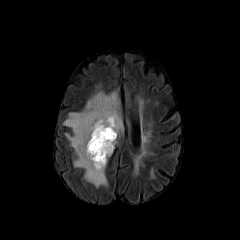
FLAIR magnetic resonance.
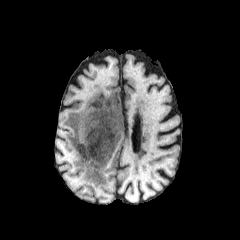
T1-weighted MR.
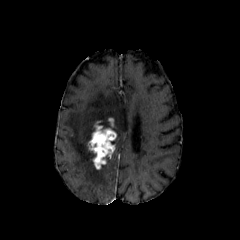
Post-contrast T1-weighted MR image.
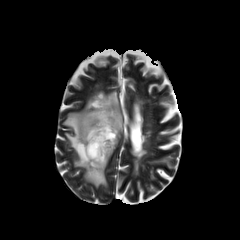
Same slice, T2-weighted MRI.
240x240 px
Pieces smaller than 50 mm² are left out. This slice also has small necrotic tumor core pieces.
The enhancing tumor is at bbox=[87, 117, 116, 169]. The largest peritumoral edema region appears at bbox=[63, 91, 123, 187].